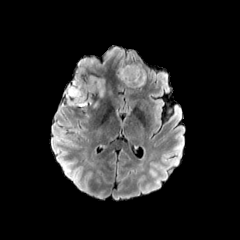
FLAIR MRI.
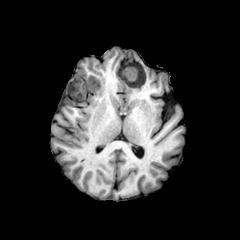
T1-weighted MRI.
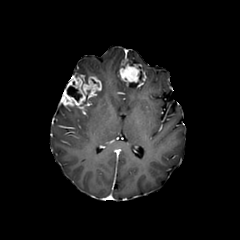
Same slice, post-contrast T1-weighted MR image.
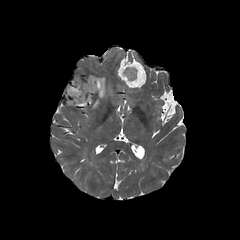
T2-weighted MR of the same slice.
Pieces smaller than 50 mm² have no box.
{"enhancing_tumor": ["(61,74,102,110)", "(120,64,146,86)"], "necrotic_tumor_core": ["(67,86,81,101)"], "peritumoral_edema": ["(117,64,134,80)", "(98,78,104,97)"]}